FLAIR MR.
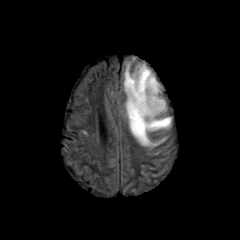
T1-weighted MRI.
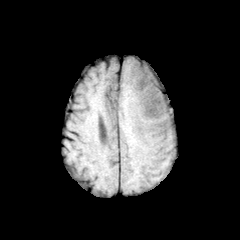
Post-contrast T1-weighted magnetic resonance.
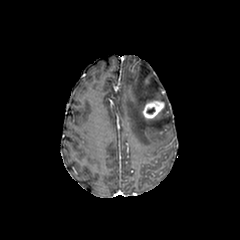
T2-weighted magnetic resonance.
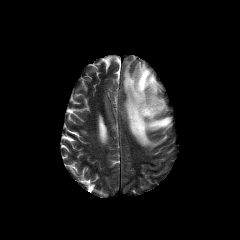
Brain | Axial view
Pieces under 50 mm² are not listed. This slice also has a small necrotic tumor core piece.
peritumoral edema: bounding box [123,62,171,147]
enhancing tumor: bounding box [142,100,164,118]